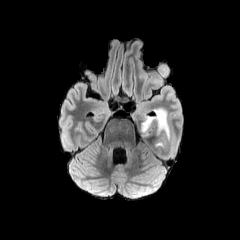
FLAIR MR image.
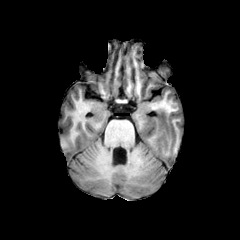
T1-weighted MR.
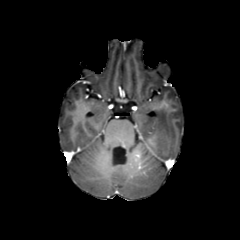
Post-contrast T1-weighted magnetic resonance of the same slice.
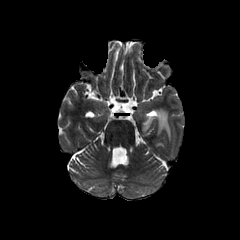
T2-weighted MR.
Head.
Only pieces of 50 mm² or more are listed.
Segmented structures:
• peritumoral edema: bbox=[140, 107, 170, 139]